Head. Slice index 108. Image size 240x240.
FLAIR MR.
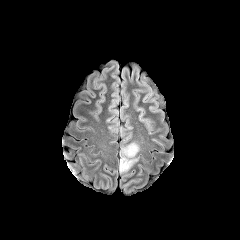
T1-weighted magnetic resonance.
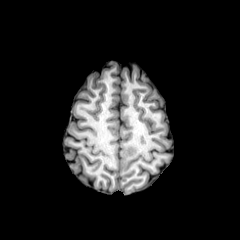
Post-contrast T1-weighted magnetic resonance.
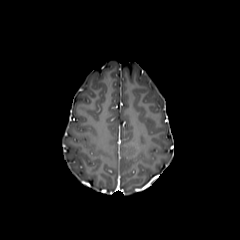
T2-weighted MRI.
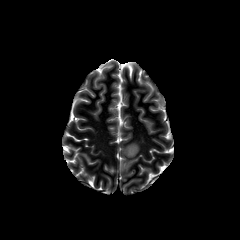
peritumoral edema = 119, 141, 140, 173